Axial slice, Image width 240 mm, 1.00 mm slice spacing
FLAIR MR.
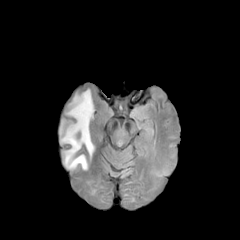
T1-weighted MR image.
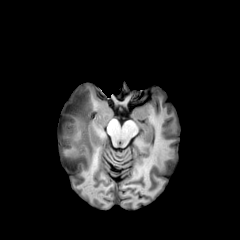
Post-contrast T1-weighted MR image.
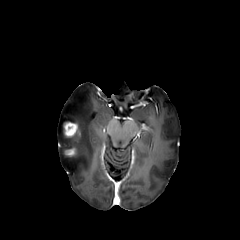
T2-weighted magnetic resonance.
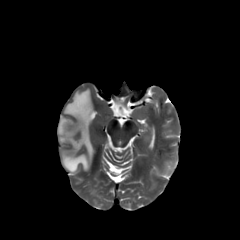
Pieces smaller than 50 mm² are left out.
{"enhancing_tumor": ["box(63, 121, 78, 137)", "box(64, 147, 76, 156)"], "peritumoral_edema": ["box(59, 119, 66, 144)", "box(63, 151, 88, 170)", "box(67, 89, 94, 160)"], "necrotic_tumor_core": ["box(62, 138, 72, 149)"]}